FLAIR MR.
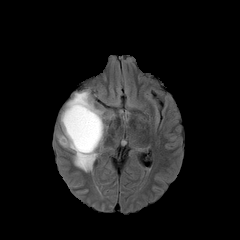
T1-weighted MRI.
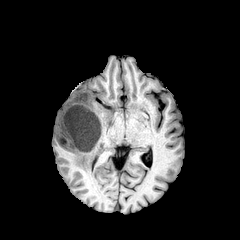
Post-contrast T1-weighted MR.
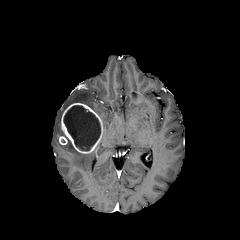
T2-weighted magnetic resonance.
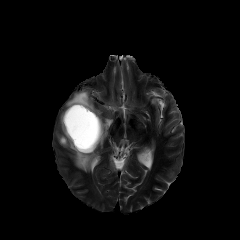
Image size 240x240, Axial slice, Brain
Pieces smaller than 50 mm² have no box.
<segmentation>
  <enhancing_tumor>(x1=58, y1=103, x2=103, y2=153)</enhancing_tumor>
  <necrotic_tumor_core>(x1=63, y1=105, x2=100, y2=150)</necrotic_tumor_core>
  <peritumoral_edema>(x1=66, y1=91, x2=104, y2=121), (x1=63, y1=141, x2=96, y2=171), (x1=96, y1=122, x2=106, y2=148)</peritumoral_edema>
</segmentation>